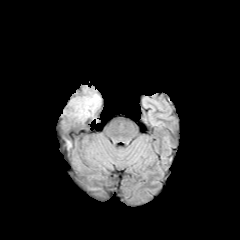
FLAIR MRI.
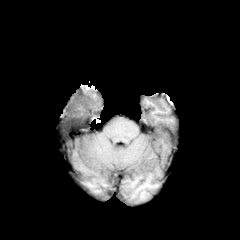
Same slice, T1-weighted MR image.
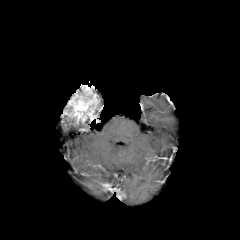
Post-contrast T1-weighted MR image of the same slice.
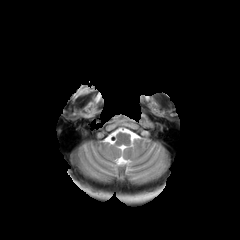
T2-weighted MR image.
Axial view; 240x240 px; Head
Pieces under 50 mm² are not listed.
<segmentation>
  <enhancing_tumor><bbox>62, 85, 100, 125</bbox></enhancing_tumor>
</segmentation>